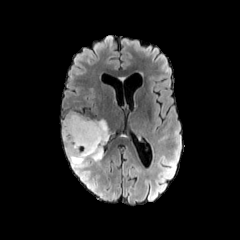
FLAIR MR image.
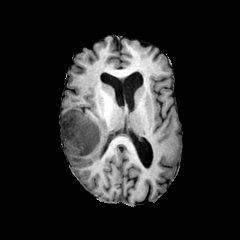
Same slice, T1-weighted MRI.
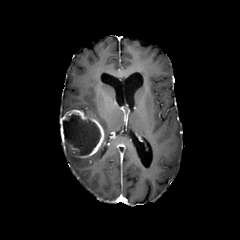
Same slice, post-contrast T1-weighted MR image.
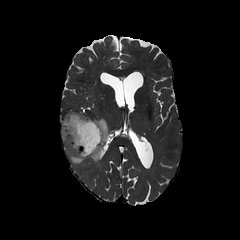
Same slice, T2-weighted MRI.
Axial slice
peritumoral edema: l=65, t=118, r=114, b=167 | enhancing tumor: l=60, t=109, r=104, b=158 | necrotic tumor core: l=63, t=113, r=100, b=155